FLAIR magnetic resonance.
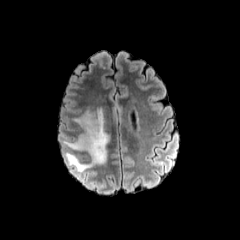
T1-weighted MR image.
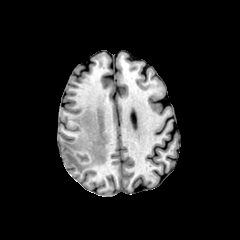
Post-contrast T1-weighted MR image.
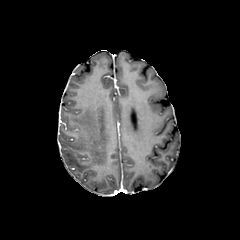
T2-weighted MRI.
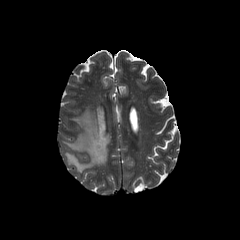
Head
- peritumoral edema: bbox(63, 107, 108, 172)